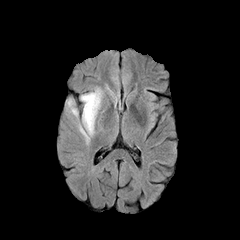
FLAIR MR image.
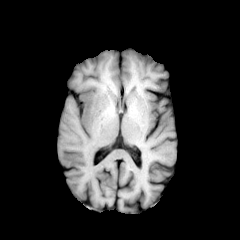
T1-weighted MRI.
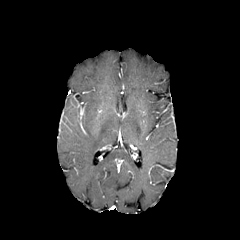
Post-contrast T1-weighted MRI.
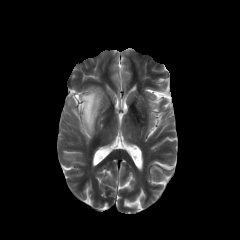
T2-weighted MR.
Axial plane.
peritumoral edema = region(68, 100, 77, 117); region(78, 87, 103, 143)